FLAIR magnetic resonance.
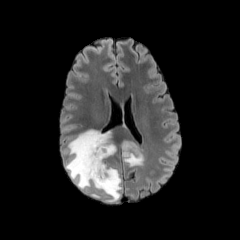
T1-weighted MR image.
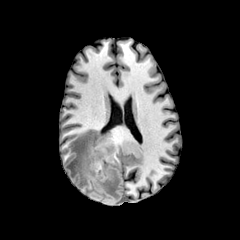
Post-contrast T1-weighted magnetic resonance.
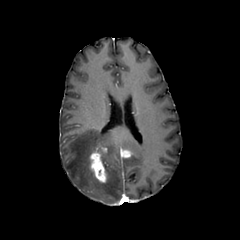
T2-weighted MRI.
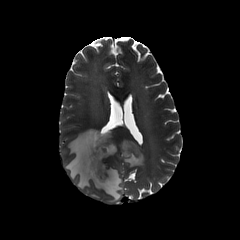
Brain
Annotated regions:
- enhancing tumor: bbox(89, 146, 107, 182); bbox(120, 148, 132, 158)
- peritumoral edema: bbox(87, 191, 101, 198); bbox(120, 141, 143, 166); bbox(65, 129, 122, 202)